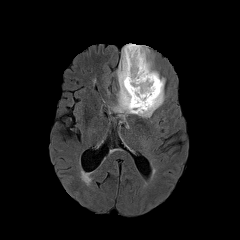
FLAIR MR image.
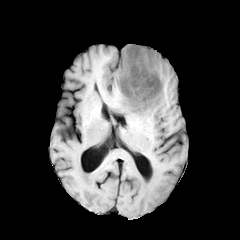
Same slice, T1-weighted MRI.
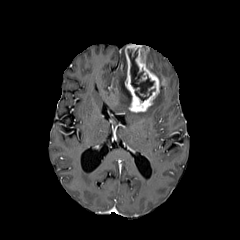
Same slice, post-contrast T1-weighted MR.
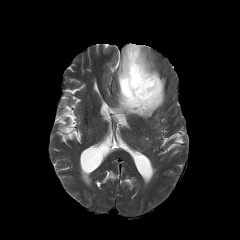
T2-weighted MR.
240x240
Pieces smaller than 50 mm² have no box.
{"peritumoral_edema": ["147 52 164 81", "113 47 164 118"], "enhancing_tumor": ["125 44 164 112"], "necrotic_tumor_core": ["127 49 155 100"]}